Slice 106/155
FLAIR MR.
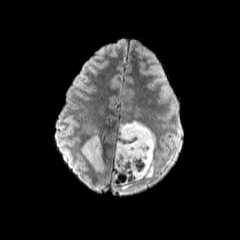
T1-weighted magnetic resonance.
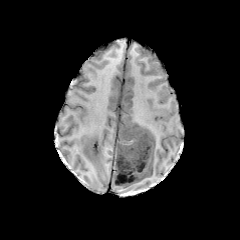
Post-contrast T1-weighted MR.
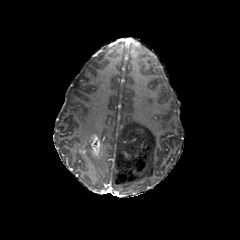
T2-weighted MRI.
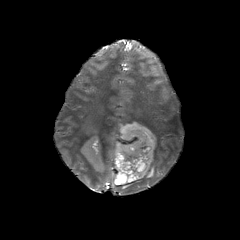
3 peritumoral edema regions appear at box(80, 136, 93, 153); box(114, 119, 155, 189); box(88, 157, 103, 171). The enhancing tumor lies within box(82, 134, 101, 160).